Axial plane | Brain
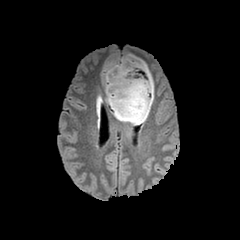
FLAIR MRI.
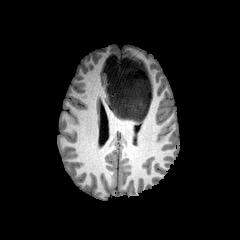
Same slice, T1-weighted MRI.
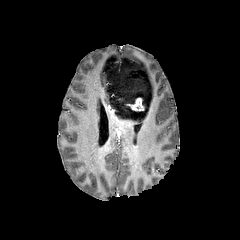
Post-contrast T1-weighted MR image.
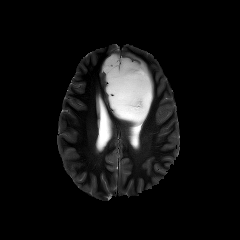
T2-weighted magnetic resonance.
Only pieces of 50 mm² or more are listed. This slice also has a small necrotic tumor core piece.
{
  "peritumoral_edema": [
    "[102,55,154,126]"
  ],
  "enhancing_tumor": [
    "[129,97,144,111]"
  ]
}